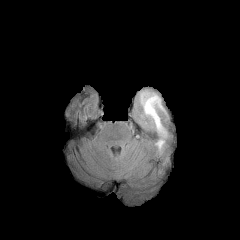
FLAIR MRI.
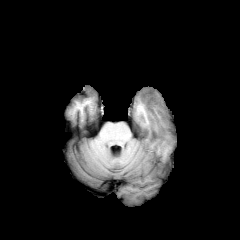
T1-weighted MR image.
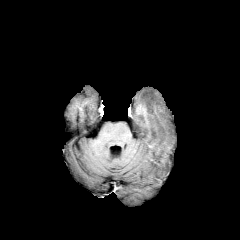
Post-contrast T1-weighted MR image of the same slice.
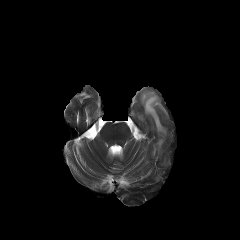
T2-weighted MR image of the same slice.
Axial slice; Image size 240x240; Brain
{
  "peritumoral_edema": [
    "box=[140, 90, 166, 137]",
    "box=[156, 138, 164, 149]"
  ]
}